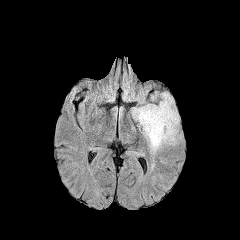
FLAIR magnetic resonance.
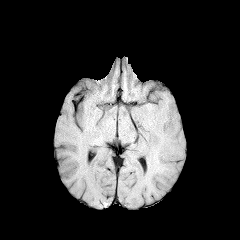
T1-weighted magnetic resonance.
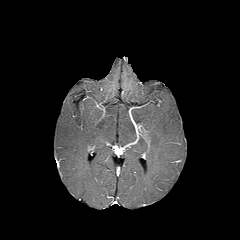
Same slice, post-contrast T1-weighted MR.
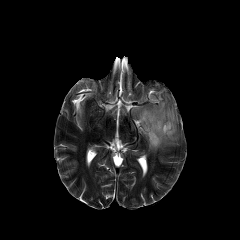
T2-weighted MR image.
Head
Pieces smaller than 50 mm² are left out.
<segmentation>
  <peritumoral_edema>left=132, top=93, right=178, bottom=152</peritumoral_edema>
</segmentation>